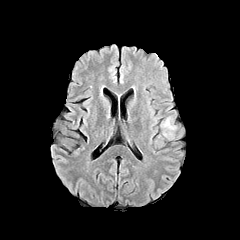
FLAIR MR.
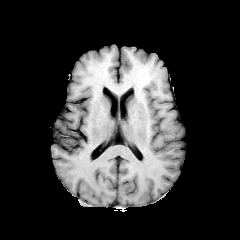
T1-weighted MR.
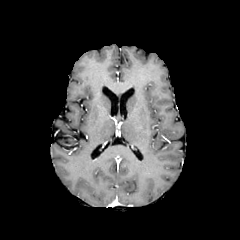
Post-contrast T1-weighted MR image.
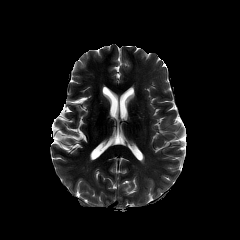
T2-weighted MR image of the same slice.
Image size 240x240; Head
<segmentation>
  <peritumoral_edema>(163,119,174,129)</peritumoral_edema>
</segmentation>